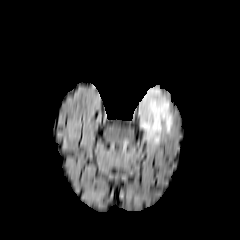
FLAIR MR.
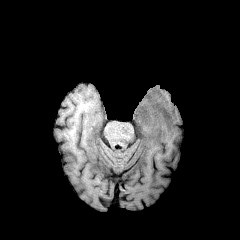
T1-weighted MRI of the same slice.
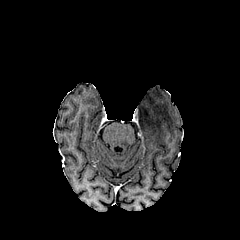
Post-contrast T1-weighted magnetic resonance.
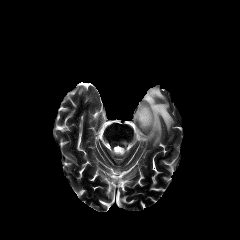
Same slice, T2-weighted MR image.
Brain, Axial slice
The peritumoral edema is bounded by {"x1": 138, "y1": 88, "x2": 174, "y2": 144}.